FLAIR MRI.
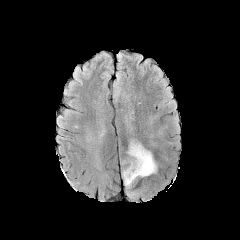
T1-weighted magnetic resonance.
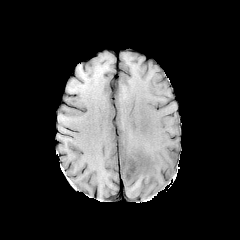
Post-contrast T1-weighted MR image.
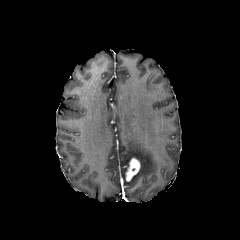
T2-weighted MR image.
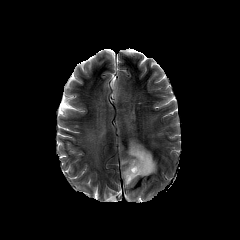
Head
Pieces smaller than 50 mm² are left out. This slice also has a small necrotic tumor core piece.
enhancing tumor: bounding box rect(125, 158, 140, 181)
peritumoral edema: bounding box rect(121, 140, 157, 188)